Image width 240 mm; Brain; Slice 62 of 155
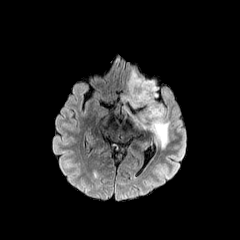
FLAIR MRI.
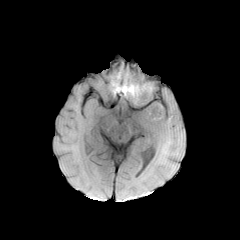
T1-weighted MR image.
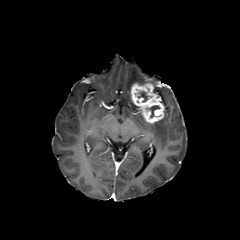
Post-contrast T1-weighted MR image.
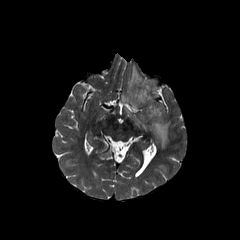
Same slice, T2-weighted MR.
Annotated regions:
• enhancing tumor: x1=130, y1=82, x2=164, y2=123
• peritumoral edema: x1=121, y1=70, x2=157, y2=109; x1=129, y1=107, x2=169, y2=149
• necrotic tumor core: x1=138, y1=91, x2=147, y2=101; x1=149, y1=105, x2=159, y2=117